Axial view | Head
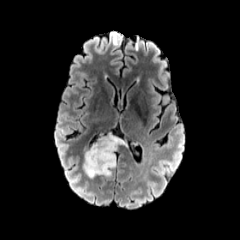
FLAIR magnetic resonance.
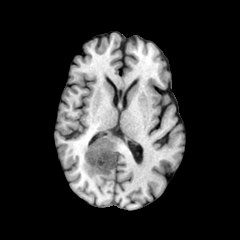
T1-weighted MRI.
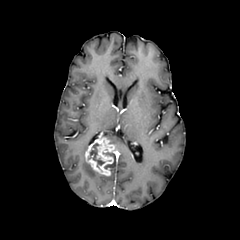
Post-contrast T1-weighted MRI of the same slice.
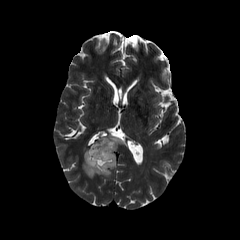
T2-weighted MR image.
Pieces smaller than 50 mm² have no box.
<segmentation>
  <enhancing_tumor>(85,136,117,175)</enhancing_tumor>
  <peritumoral_edema>(83,160,103,177), (106,135,122,149)</peritumoral_edema>
  <necrotic_tumor_core>(88,143,104,166)</necrotic_tumor_core>
</segmentation>